Brain
FLAIR MR.
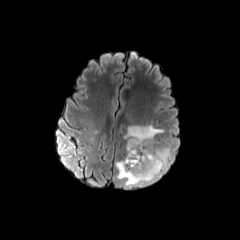
T1-weighted MRI.
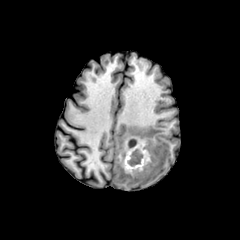
Post-contrast T1-weighted MRI.
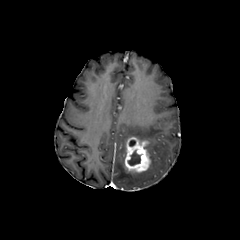
T2-weighted MR image.
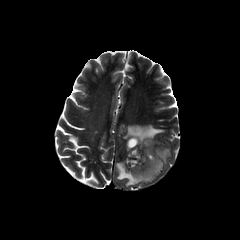
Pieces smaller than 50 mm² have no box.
{
  "enhancing_tumor": [
    "bbox=[125, 137, 150, 172]"
  ],
  "peritumoral_edema": [
    "bbox=[115, 124, 170, 187]"
  ],
  "necrotic_tumor_core": [
    "bbox=[127, 150, 140, 165]"
  ]
}